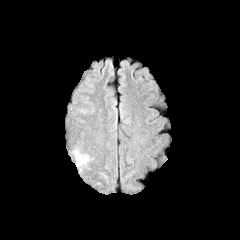
FLAIR magnetic resonance.
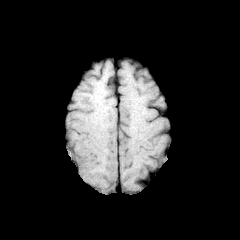
T1-weighted MR image of the same slice.
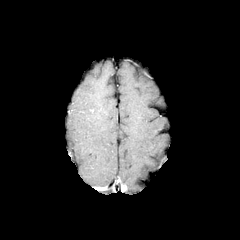
Post-contrast T1-weighted MR of the same slice.
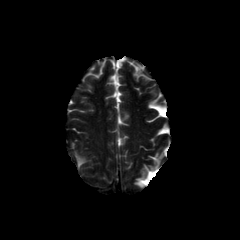
T2-weighted MRI.
240x240
peritumoral edema: <bbox>75, 151, 86, 166</bbox>